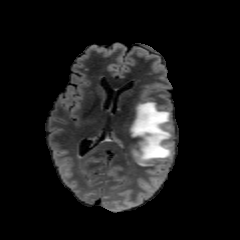
FLAIR magnetic resonance.
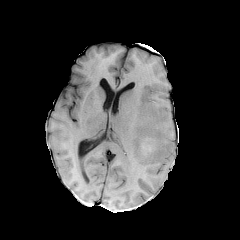
Same slice, T1-weighted MR image.
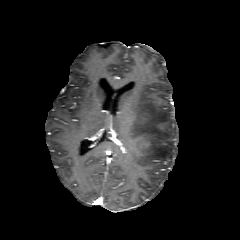
Post-contrast T1-weighted MR image of the same slice.
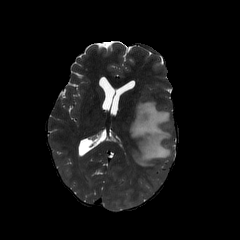
T2-weighted MR image.
Image size 240x240 | Brain | Axial plane
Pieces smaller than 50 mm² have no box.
Findings:
- peritumoral edema: left=129, top=101, right=173, bottom=165
- enhancing tumor: left=131, top=135, right=151, bottom=155; left=158, top=123, right=165, bottom=130